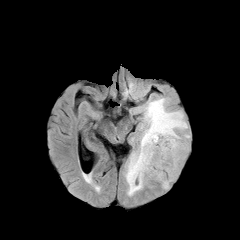
FLAIR MR image.
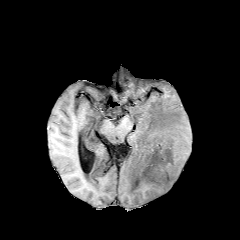
Same slice, T1-weighted magnetic resonance.
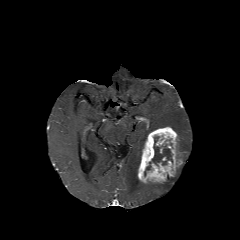
Same slice, post-contrast T1-weighted MR image.
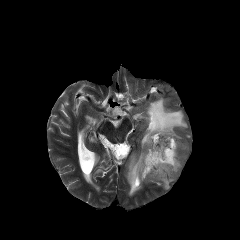
T2-weighted MR.
Axial slice | 240x240
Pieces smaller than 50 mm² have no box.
peritumoral_edema:
  - x1=160 y1=166 x2=180 y2=189
  - x1=124 y1=97 x2=190 y2=196
necrotic_tumor_core:
  - x1=152 y1=136 x2=172 y2=164
enhancing_tumor:
  - x1=137 y1=126 x2=182 y2=183